Head. Slice index 40.
FLAIR MR image.
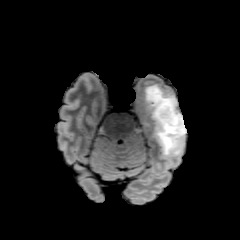
T1-weighted MR.
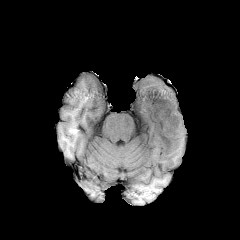
Post-contrast T1-weighted MR image.
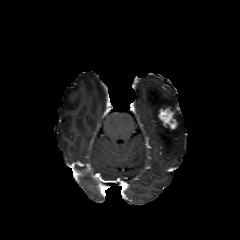
T2-weighted MR.
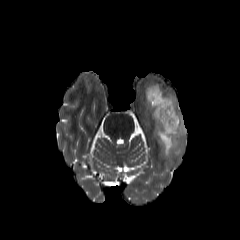
enhancing_tumor:
  - <bbox>157, 105, 178, 131</bbox>
peritumoral_edema:
  - <bbox>145, 85, 186, 160</bbox>